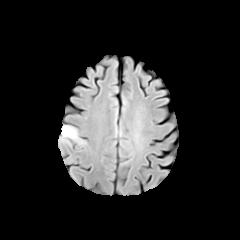
FLAIR MR image.
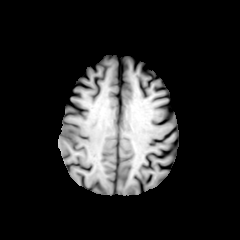
T1-weighted MR image.
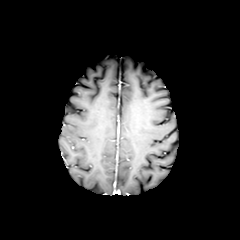
Post-contrast T1-weighted MR.
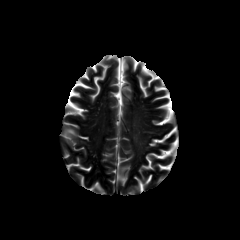
Same slice, T2-weighted MR.
Image size 240x240 | Head
Annotated regions:
• peritumoral edema: x1=60 y1=125 x2=86 y2=145